Image width 240 mm. Axial view. Image size 240x240.
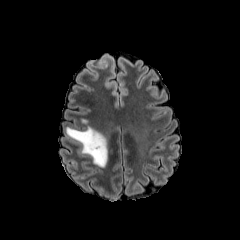
FLAIR magnetic resonance.
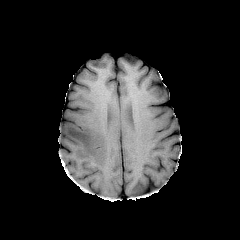
T1-weighted magnetic resonance of the same slice.
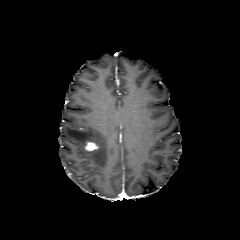
Post-contrast T1-weighted MR of the same slice.
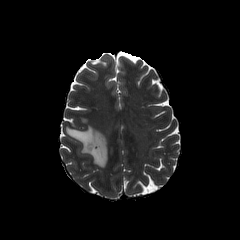
T2-weighted MRI.
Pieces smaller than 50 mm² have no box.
The largest peritumoral edema region lies within (x1=65, y1=126, x2=107, y2=167). The enhancing tumor is located at (x1=85, y1=142, x2=99, y2=151).